FLAIR magnetic resonance.
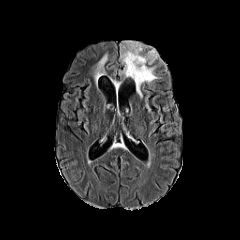
T1-weighted MR.
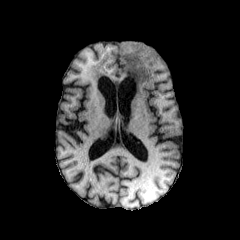
Post-contrast T1-weighted magnetic resonance.
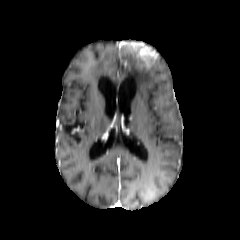
T2-weighted MRI.
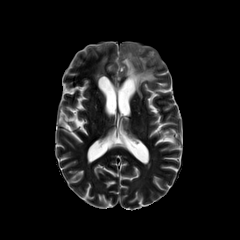
Axial slice, Brain, 240x240
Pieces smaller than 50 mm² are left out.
enhancing tumor: (x1=119, y1=41, x2=158, y2=67) | peritumoral edema: (x1=120, y1=47, x2=157, y2=97), (x1=94, y1=54, x2=107, y2=80)